Slice 94 of 155; Image width 240 mm, 1.00 mm slice spacing; Axial view
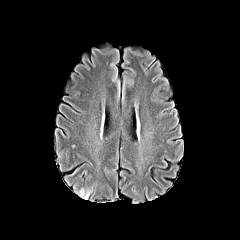
FLAIR magnetic resonance.
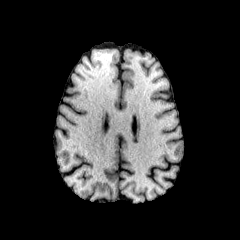
T1-weighted magnetic resonance.
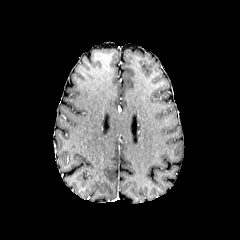
Same slice, post-contrast T1-weighted magnetic resonance.
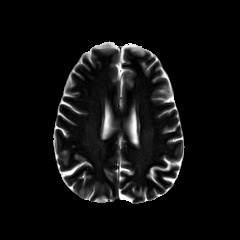
T2-weighted MRI of the same slice.
peritumoral edema at 78, 189, 91, 199